FLAIR MR image.
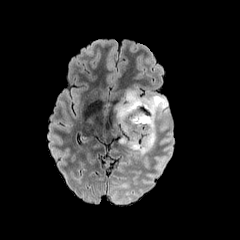
T1-weighted MR image.
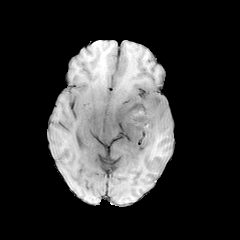
Post-contrast T1-weighted MR image.
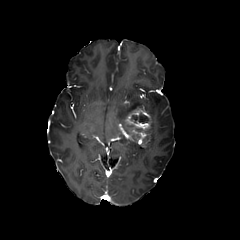
T2-weighted MR image.
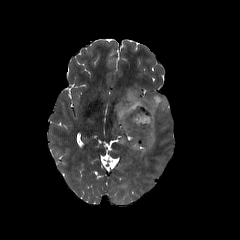
Image size 240x240
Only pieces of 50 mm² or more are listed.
peritumoral edema: bounding box [115, 91, 169, 155]
enhancing tumor: bounding box [123, 109, 153, 143]
necrotic tumor core: bounding box [132, 113, 148, 123]